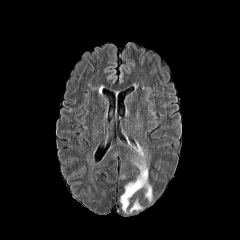
FLAIR MRI.
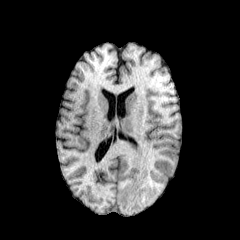
T1-weighted MR.
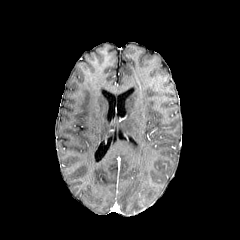
Post-contrast T1-weighted MR.
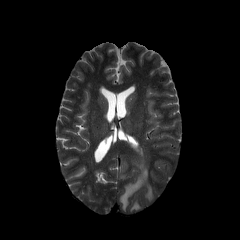
T2-weighted MR image.
Brain.
peritumoral edema: 129,196,143,212; 120,145,152,213